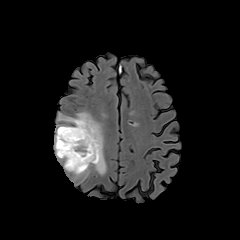
FLAIR magnetic resonance.
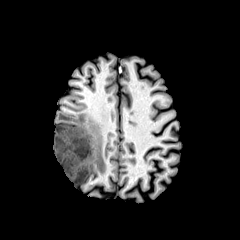
T1-weighted MR image.
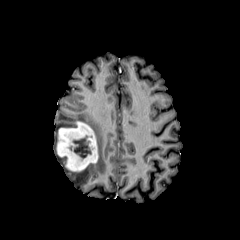
Post-contrast T1-weighted MR image of the same slice.
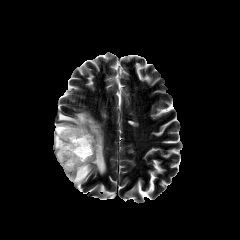
T2-weighted MR image.
Axial slice | Head
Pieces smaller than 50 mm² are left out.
The largest necrotic tumor core region is bounded by <box>72,136,91,158</box>. The peritumoral edema appears at <box>54,111,106,184</box>. The enhancing tumor appears at <box>56,121,98,171</box>.